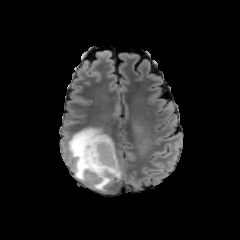
FLAIR magnetic resonance.
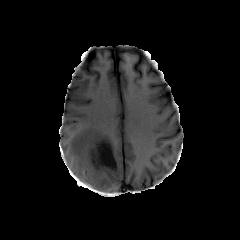
T1-weighted MR image of the same slice.
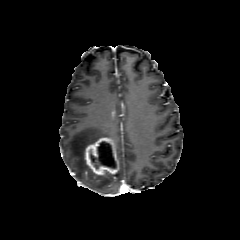
Post-contrast T1-weighted MRI of the same slice.
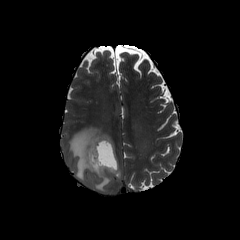
T2-weighted MRI of the same slice.
240x240. Brain.
{"enhancing_tumor": ["l=85, t=137, r=118, b=177"], "peritumoral_edema": ["l=115, t=163, r=122, b=180", "l=67, t=127, r=114, b=192"], "necrotic_tumor_core": ["l=90, t=141, r=116, b=168"]}